Image width 240 mm | Axial view | Head
FLAIR magnetic resonance.
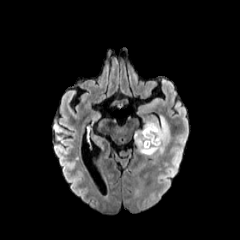
T1-weighted MR image.
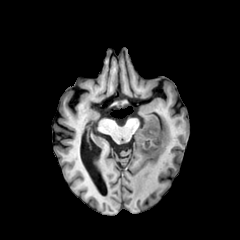
Post-contrast T1-weighted MR image.
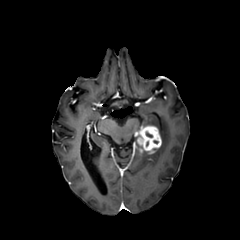
T2-weighted MR.
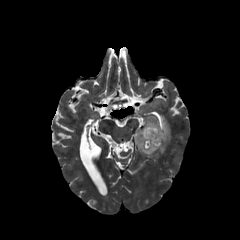
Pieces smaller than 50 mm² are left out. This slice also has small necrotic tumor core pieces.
enhancing tumor = [x1=134, y1=125, x2=161, y2=153]
peritumoral edema = [x1=134, y1=116, x2=170, y2=156]